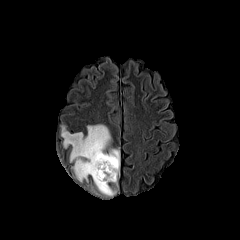
FLAIR MR.
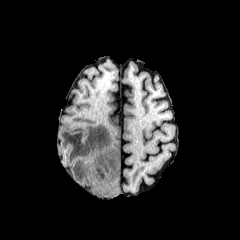
T1-weighted MR image of the same slice.
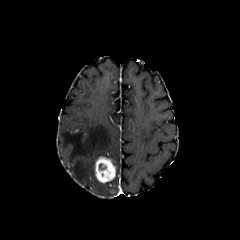
Post-contrast T1-weighted MRI.
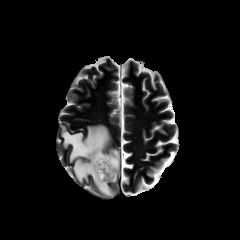
Same slice, T2-weighted magnetic resonance.
Axial plane. Head.
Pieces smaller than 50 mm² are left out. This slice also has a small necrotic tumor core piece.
The peritumoral edema appears at (61,124,119,196). The enhancing tumor appears at (94,156,116,183).